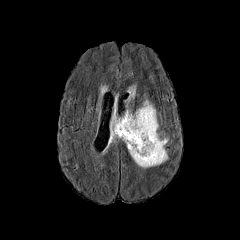
FLAIR MR.
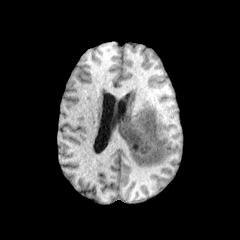
Same slice, T1-weighted MRI.
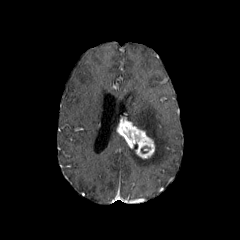
Post-contrast T1-weighted MR.
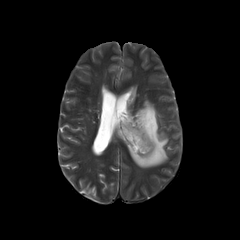
Same slice, T2-weighted magnetic resonance.
Axial slice
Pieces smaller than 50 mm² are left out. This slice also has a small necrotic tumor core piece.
The 2 largest peritumoral edema regions are bounded by <bbox>108, 116, 121, 144</bbox>, <bbox>124, 100, 168, 168</bbox>. The enhancing tumor is bounded by <bbox>116, 118, 155, 158</bbox>.